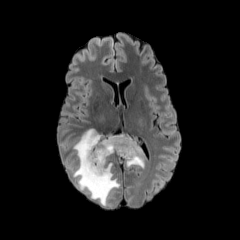
FLAIR MR.
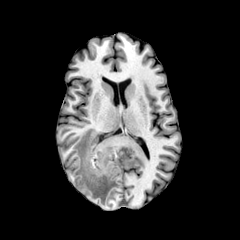
T1-weighted MRI.
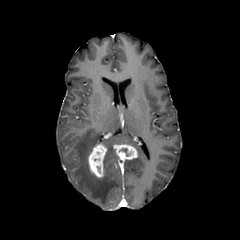
Same slice, post-contrast T1-weighted MR.
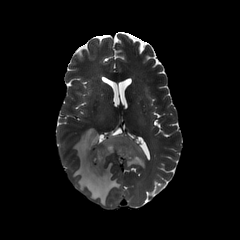
T2-weighted MR.
Head
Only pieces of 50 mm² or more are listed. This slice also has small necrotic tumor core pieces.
Findings:
- enhancing tumor: [113, 144, 137, 160], [88, 144, 106, 178]
- peritumoral edema: [73, 128, 144, 206]